FLAIR magnetic resonance.
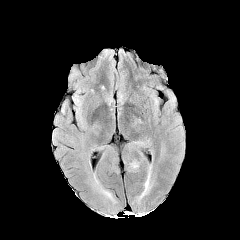
T1-weighted magnetic resonance.
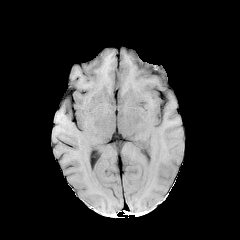
Post-contrast T1-weighted magnetic resonance.
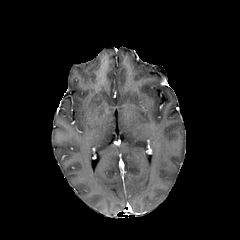
T2-weighted magnetic resonance.
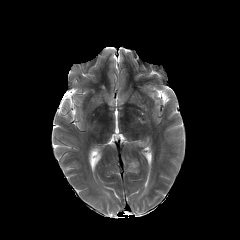
Head
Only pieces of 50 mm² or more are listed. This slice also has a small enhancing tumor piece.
The peritumoral edema is located at bbox(130, 161, 138, 168).